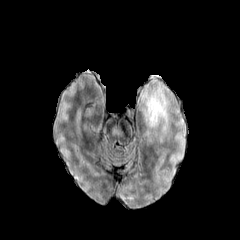
FLAIR MRI.
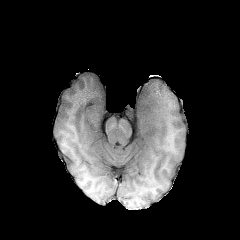
T1-weighted magnetic resonance.
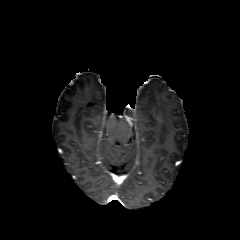
Post-contrast T1-weighted MRI.
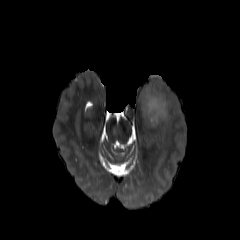
T2-weighted MRI.
240x240; Head; Axial plane
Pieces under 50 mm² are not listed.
peritumoral_edema:
  - [142,87,168,127]